Image size 240x240. Axial plane. Slice 60 of 155.
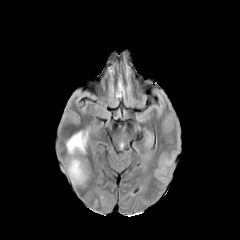
FLAIR MR.
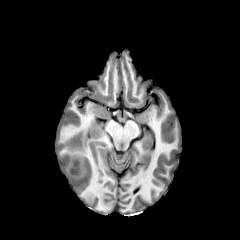
T1-weighted MR of the same slice.
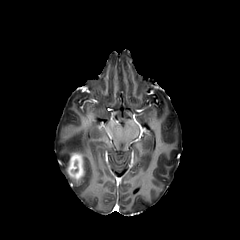
Post-contrast T1-weighted MRI.
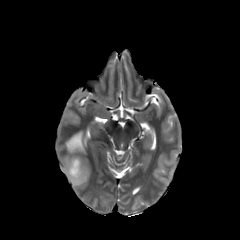
Same slice, T2-weighted MR.
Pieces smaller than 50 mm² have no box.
Annotated regions:
* peritumoral edema: {"x1": 70, "y1": 169, "x2": 86, "y2": 185}, {"x1": 66, "y1": 131, "x2": 87, "y2": 157}
* enhancing tumor: {"x1": 66, "y1": 153, "x2": 84, "y2": 182}